Axial view | Slice 85/155 | Brain | Image width 240 mm, 1.00 mm slice spacing
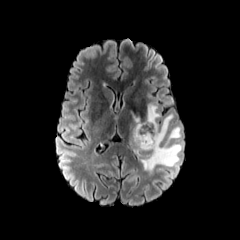
FLAIR MR.
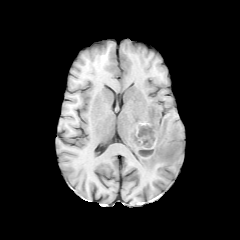
T1-weighted MR.
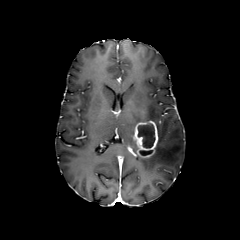
Same slice, post-contrast T1-weighted MRI.
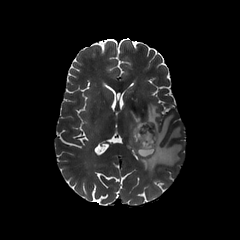
T2-weighted MR image of the same slice.
2 necrotic tumor core regions are bounded by box(139, 150, 153, 155); box(137, 123, 155, 148). 2 peritumoral edema regions appear at box(137, 104, 182, 174); box(128, 111, 141, 153). The enhancing tumor lies within box(133, 120, 158, 157).